Head | Axial plane
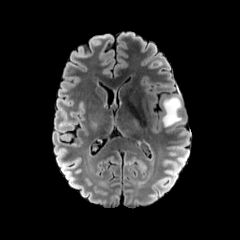
FLAIR magnetic resonance.
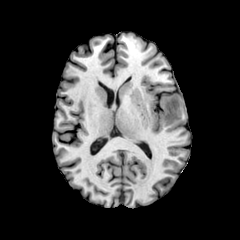
T1-weighted magnetic resonance.
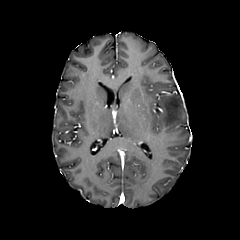
Same slice, post-contrast T1-weighted MR image.
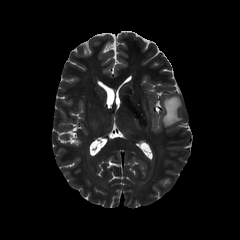
T2-weighted MR image of the same slice.
peritumoral_edema:
  - {"x1": 162, "y1": 96, "x2": 181, "y2": 126}